FLAIR MR.
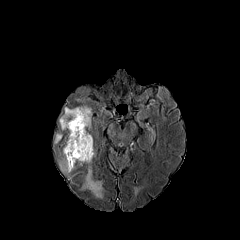
T1-weighted MR.
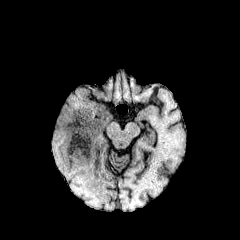
Post-contrast T1-weighted MR image.
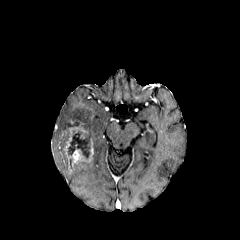
T2-weighted magnetic resonance.
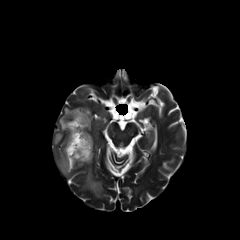
Axial slice
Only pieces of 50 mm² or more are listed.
The 4 largest peritumoral edema regions appear at 54, 133, 62, 143; 59, 148, 70, 174; 59, 106, 91, 147; 82, 166, 102, 197. The largest enhancing tumor region appears at 64, 121, 93, 171. The largest necrotic tumor core region appears at 68, 130, 91, 158.